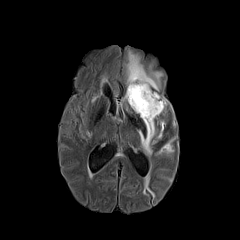
FLAIR MR.
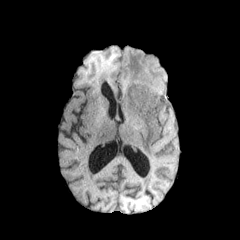
T1-weighted magnetic resonance of the same slice.
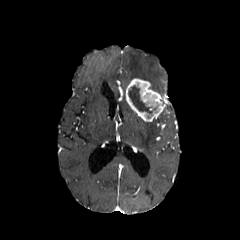
Post-contrast T1-weighted MR of the same slice.
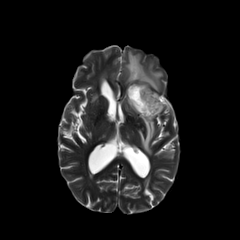
Same slice, T2-weighted MRI.
Axial slice.
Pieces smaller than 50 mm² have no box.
The enhancing tumor is located at (125,78,167,121). The largest necrotic tumor core region is at (128,85,156,115). The 3 largest peritumoral edema regions are located at (138,118,156,156), (162,144,172,152), (125,50,162,91).